FLAIR MR.
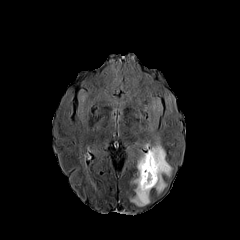
T1-weighted magnetic resonance.
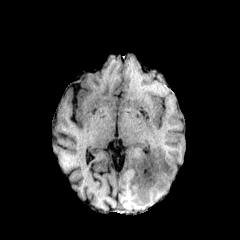
Post-contrast T1-weighted MR.
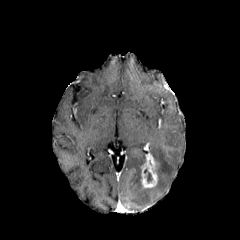
T2-weighted MR image.
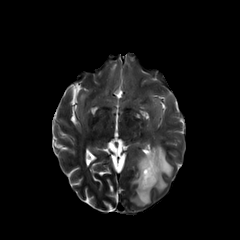
Head
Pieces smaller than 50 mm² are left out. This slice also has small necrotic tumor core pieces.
3 peritumoral edema regions appear at box=[148, 98, 172, 192]; box=[164, 89, 174, 114]; box=[130, 153, 151, 206]. The enhancing tumor is bounded by box=[140, 151, 158, 188].